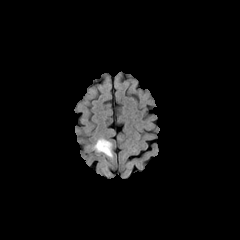
FLAIR MR image.
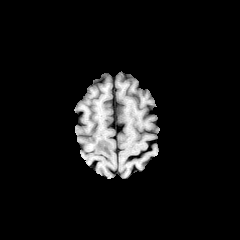
Same slice, T1-weighted MRI.
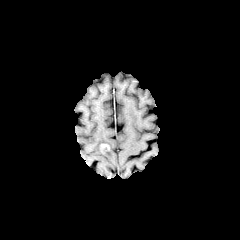
Post-contrast T1-weighted MR.
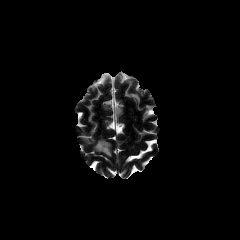
Same slice, T2-weighted MR.
Axial slice.
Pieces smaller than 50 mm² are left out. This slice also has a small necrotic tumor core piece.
peritumoral_edema:
  - rect(93, 138, 112, 157)
enhancing_tumor:
  - rect(100, 144, 109, 150)